240x240. Slice 63 of 155.
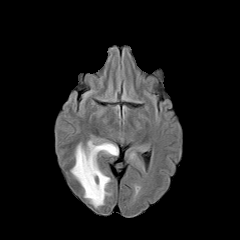
FLAIR MR.
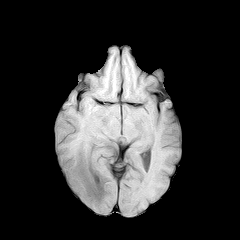
Same slice, T1-weighted MRI.
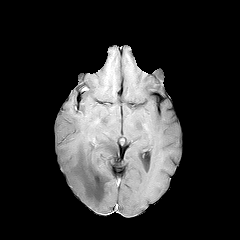
Same slice, post-contrast T1-weighted MRI.
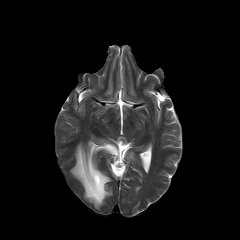
T2-weighted MR of the same slice.
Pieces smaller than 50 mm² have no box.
<segmentation>
  <peritumoral_edema>left=71, top=140, right=118, bottom=207</peritumoral_edema>
</segmentation>